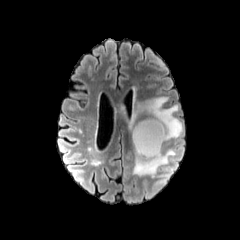
FLAIR magnetic resonance.
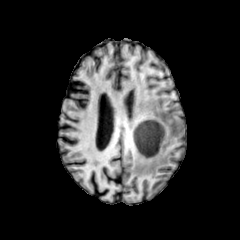
Same slice, T1-weighted MRI.
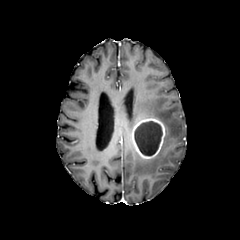
Post-contrast T1-weighted MR.
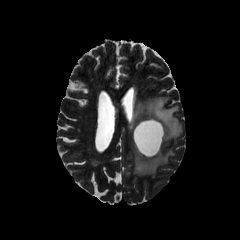
T2-weighted MR of the same slice.
Brain | 240x240 px | Axial slice
2 peritumoral edema regions are located at {"x1": 121, "y1": 97, "x2": 182, "y2": 141}, {"x1": 133, "y1": 149, "x2": 174, "y2": 176}. The enhancing tumor is at {"x1": 132, "y1": 118, "x2": 165, "y2": 159}. The necrotic tumor core is at {"x1": 134, "y1": 121, "x2": 162, "y2": 155}.